Head; Axial view
FLAIR MR.
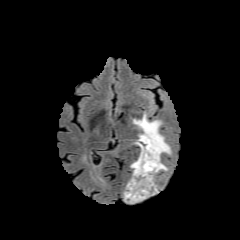
T1-weighted MR.
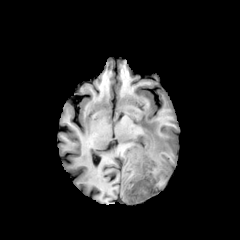
Post-contrast T1-weighted MR image.
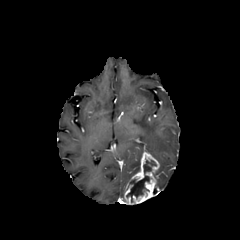
T2-weighted MRI.
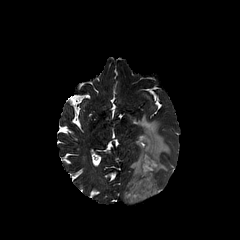
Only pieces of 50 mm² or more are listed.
necrotic tumor core at (143, 160, 156, 173), (127, 175, 149, 202)
peritumoral edema at (130, 114, 170, 175)
enhancing tumor at (124, 151, 160, 204)